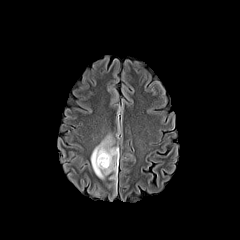
FLAIR MRI.
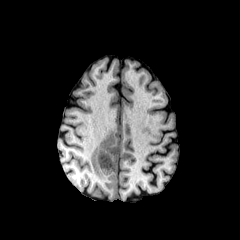
Same slice, T1-weighted MR.
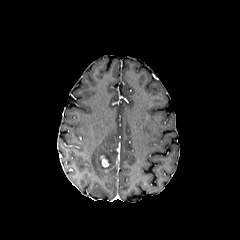
Post-contrast T1-weighted MR image.
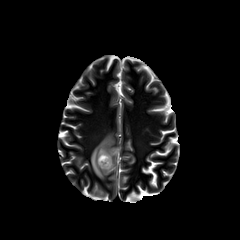
T2-weighted MR.
Axial slice. 240x240.
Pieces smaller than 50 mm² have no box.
The largest peritumoral edema region is bounded by x1=91 y1=134 x2=119 y2=182. The enhancing tumor is bounded by x1=100 y1=155 x2=109 y2=167.